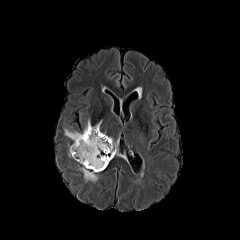
FLAIR MR.
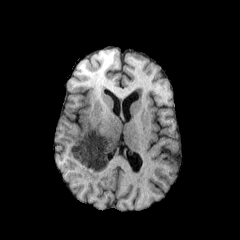
Same slice, T1-weighted MR.
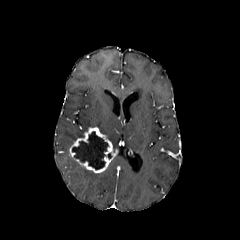
Same slice, post-contrast T1-weighted magnetic resonance.
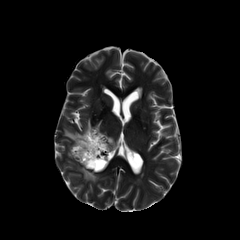
T2-weighted MR of the same slice.
Head. Axial plane.
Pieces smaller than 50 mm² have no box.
The enhancing tumor is at [x1=69, y1=127, x2=117, y2=173]. The necrotic tumor core is bounded by [x1=72, y1=131, x2=108, y2=169]. The 3 largest peritumoral edema regions are bounded by [x1=78, y1=164, x2=100, y2=182], [x1=64, y1=119, x2=92, y2=142], [x1=108, y1=137, x2=117, y2=150].